Axial plane. Head. Slice index 93.
FLAIR MR image.
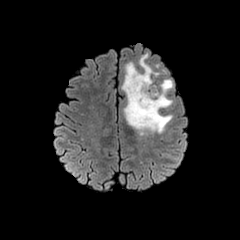
T1-weighted MR.
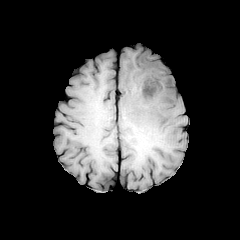
Post-contrast T1-weighted MRI.
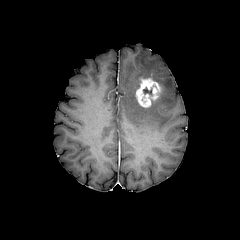
T2-weighted magnetic resonance.
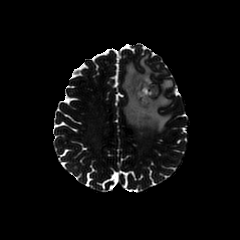
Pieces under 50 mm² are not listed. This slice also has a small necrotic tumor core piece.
<segmentation>
  <peritumoral_edema>region(122, 55, 173, 134)</peritumoral_edema>
  <enhancing_tumor>region(135, 77, 161, 107)</enhancing_tumor>
</segmentation>